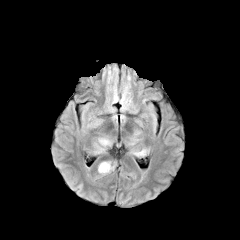
FLAIR MR.
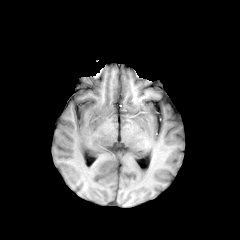
Same slice, T1-weighted MRI.
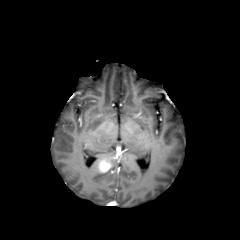
Same slice, post-contrast T1-weighted MR.
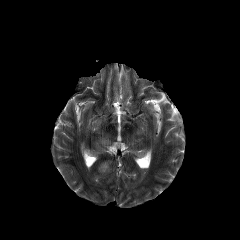
T2-weighted MRI.
Head | Image size 240x240
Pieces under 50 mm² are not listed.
{"peritumoral_edema": ["(99, 139, 110, 145)"], "enhancing_tumor": ["(98, 161, 112, 173)"]}